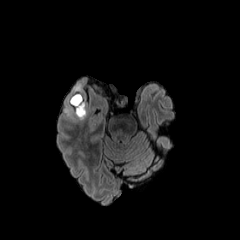
FLAIR MR.
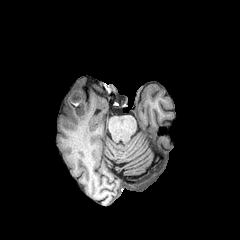
T1-weighted magnetic resonance.
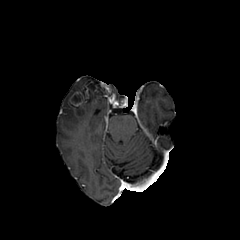
Post-contrast T1-weighted magnetic resonance of the same slice.
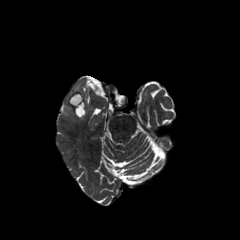
Same slice, T2-weighted MRI.
240x240 px. Axial view. Head.
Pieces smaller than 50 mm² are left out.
necrotic tumor core = x1=71 y1=95 x2=80 y2=103
peritumoral edema = x1=75 y1=102 x2=86 y2=120, x1=73 y1=83 x2=81 y2=92
enhancing tumor = x1=69 y1=91 x2=83 y2=108